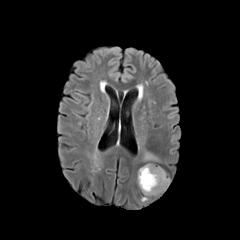
FLAIR MR image.
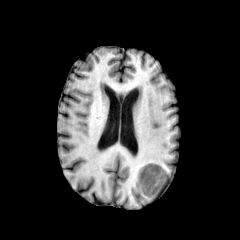
T1-weighted MRI of the same slice.
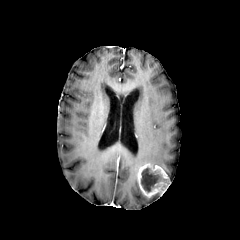
Post-contrast T1-weighted MRI of the same slice.
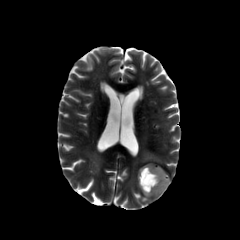
T2-weighted MR image.
Image size 240x240
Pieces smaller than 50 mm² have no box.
peritumoral edema: <box>144,152,159,161</box> | necrotic tumor core: <box>141,168,165,192</box> | enhancing tumor: <box>137,163,169,197</box>